Slice 96/155 | 240x240 px | Head
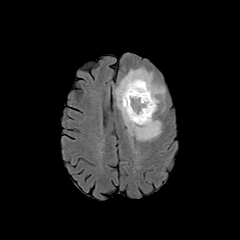
FLAIR magnetic resonance.
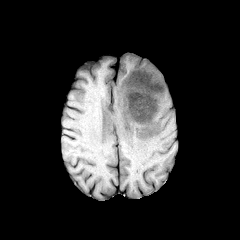
T1-weighted MR.
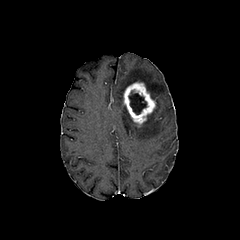
Post-contrast T1-weighted MR image.
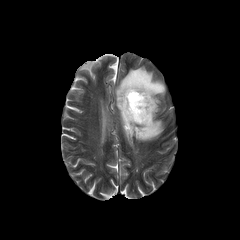
T2-weighted MR of the same slice.
The necrotic tumor core is at 128, 91, 146, 114. The peritumoral edema appears at 115, 67, 165, 141. The enhancing tumor is located at 123, 81, 156, 125.